FLAIR MRI.
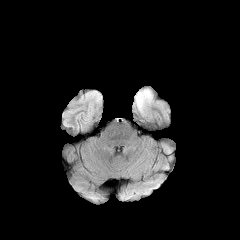
T1-weighted MR image.
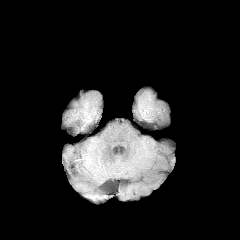
Post-contrast T1-weighted MR.
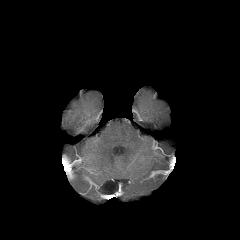
T2-weighted MR.
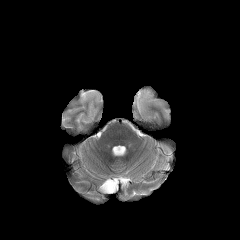
Head
The peritumoral edema is at x1=135 y1=89 x2=153 y2=114.